240x240 px.
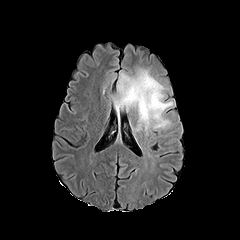
FLAIR MR image.
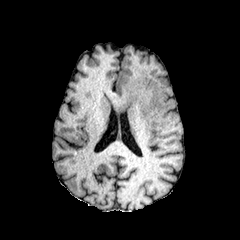
T1-weighted MR.
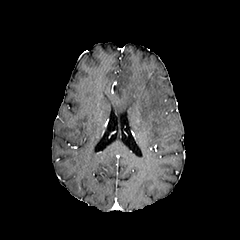
Post-contrast T1-weighted MRI.
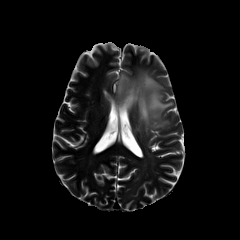
T2-weighted MR of the same slice.
The peritumoral edema appears at bbox(114, 69, 173, 132).